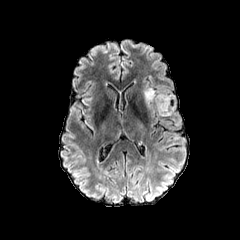
FLAIR MRI.
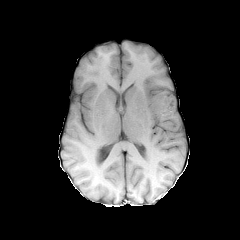
T1-weighted MRI.
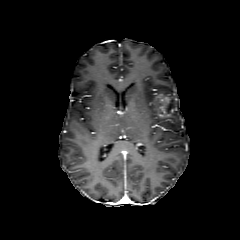
Post-contrast T1-weighted MR image.
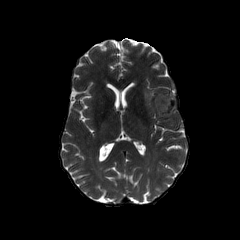
Same slice, T2-weighted MRI.
Axial slice; Head
Segmented structures:
* necrotic tumor core: {"x1": 167, "y1": 99, "x2": 174, "y2": 112}
* peritumoral edema: {"x1": 144, "y1": 88, "x2": 155, "y2": 105}
* enhancing tumor: {"x1": 153, "y1": 94, "x2": 176, "y2": 117}